Axial slice; Slice 116 of 155; Image width 240 mm; Brain
FLAIR magnetic resonance.
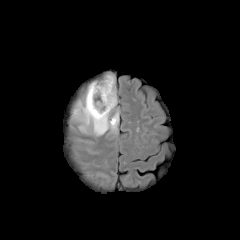
T1-weighted MRI.
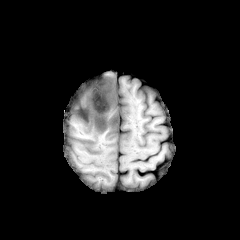
Post-contrast T1-weighted magnetic resonance.
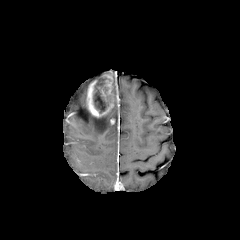
T2-weighted MR image.
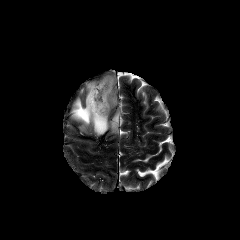
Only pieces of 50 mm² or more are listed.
necrotic tumor core: region(93, 93, 105, 113) | enhancing tumor: region(86, 75, 118, 117) | peritumoral edema: region(63, 71, 118, 137)